240x240 px, Slice index 88
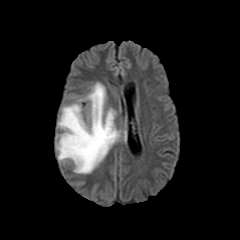
FLAIR magnetic resonance.
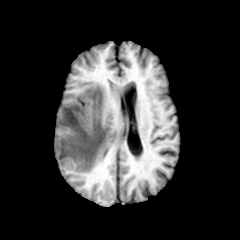
T1-weighted MR of the same slice.
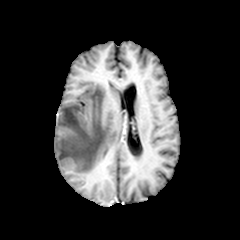
Post-contrast T1-weighted MR.
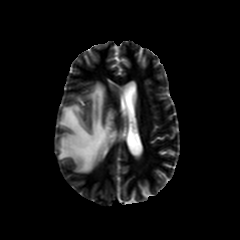
Same slice, T2-weighted MR.
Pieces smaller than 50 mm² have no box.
peritumoral edema: bounding box {"x1": 56, "y1": 82, "x2": 120, "y2": 173}